FLAIR MRI.
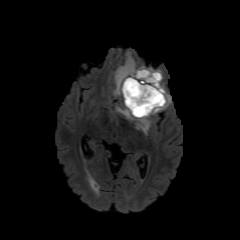
T1-weighted magnetic resonance.
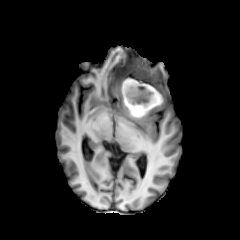
Post-contrast T1-weighted MRI.
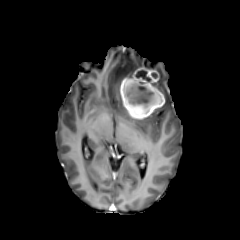
T2-weighted magnetic resonance.
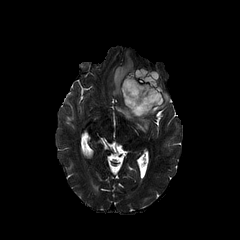
240x240 px
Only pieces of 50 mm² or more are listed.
peritumoral edema: l=116, t=106, r=150, b=133; l=151, t=70, r=170, b=114; l=113, t=53, r=135, b=95 | enhancing tumor: l=120, t=67, r=164, b=118 | necrotic tumor core: l=135, t=70, r=151, b=82; l=124, t=73, r=161, b=113